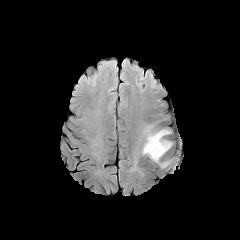
FLAIR MR image.
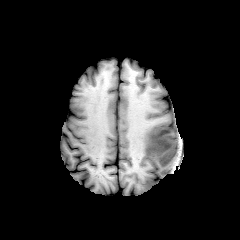
Same slice, T1-weighted magnetic resonance.
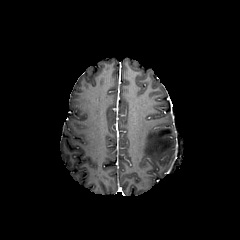
Post-contrast T1-weighted magnetic resonance of the same slice.
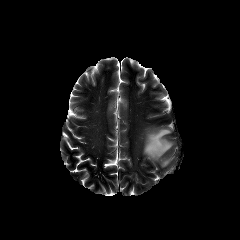
T2-weighted MR image.
Head
peritumoral edema: (142, 127, 172, 162), (160, 160, 169, 167)